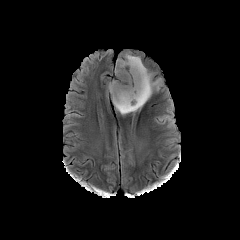
FLAIR MRI.
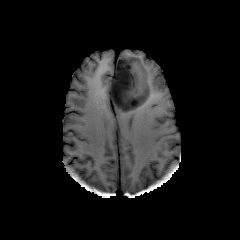
T1-weighted magnetic resonance.
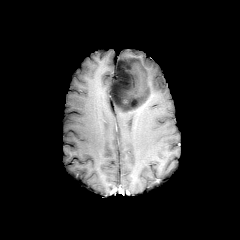
Post-contrast T1-weighted MR image of the same slice.
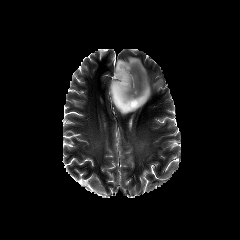
T2-weighted MRI of the same slice.
Brain | Image size 240x240
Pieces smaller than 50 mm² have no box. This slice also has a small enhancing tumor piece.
The necrotic tumor core appears at box=[110, 60, 148, 110]. The largest peritumoral edema region is bounded by box=[112, 54, 161, 114].